Head
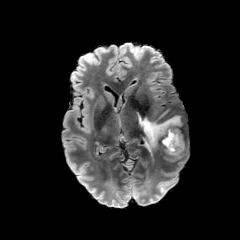
FLAIR MR.
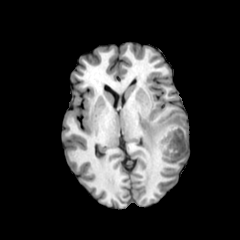
T1-weighted MR of the same slice.
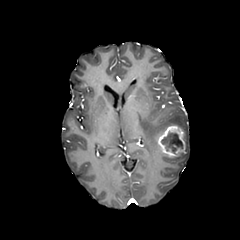
Post-contrast T1-weighted MR.
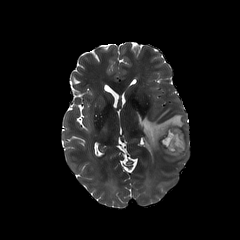
T2-weighted MRI of the same slice.
{
  "necrotic_tumor_core": [
    "(x1=161, y1=132, x2=182, y2=153)"
  ],
  "peritumoral_edema": [
    "(x1=170, y1=141, x2=187, y2=158)",
    "(x1=137, y1=111, x2=182, y2=151)",
    "(x1=157, y1=109, x2=170, y2=120)"
  ],
  "enhancing_tumor": [
    "(x1=157, y1=125, x2=185, y2=157)"
  ]
}